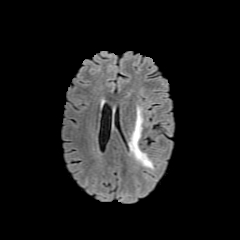
FLAIR MR image.
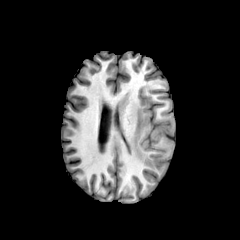
T1-weighted magnetic resonance.
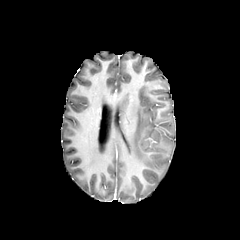
Post-contrast T1-weighted MRI of the same slice.
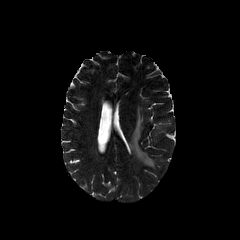
T2-weighted magnetic resonance.
Axial plane
• peritumoral edema: bbox=[129, 106, 153, 168]